Axial slice; Brain
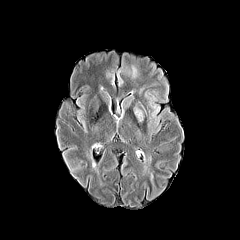
FLAIR magnetic resonance.
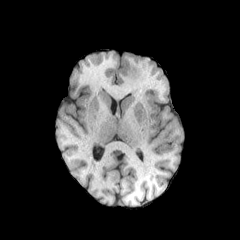
T1-weighted MR image.
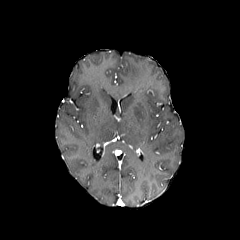
Post-contrast T1-weighted magnetic resonance.
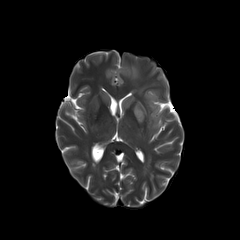
T2-weighted MRI.
<segmentation>
  <peritumoral_edema>left=133, top=106, right=144, bottom=123; left=123, top=95, right=133, bottom=110</peritumoral_edema>
</segmentation>